FLAIR MR image.
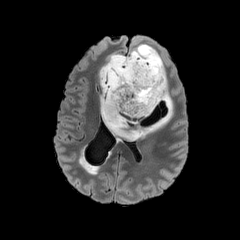
T1-weighted magnetic resonance.
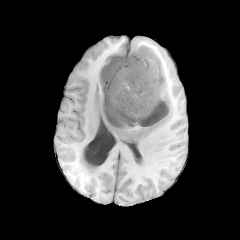
Post-contrast T1-weighted magnetic resonance.
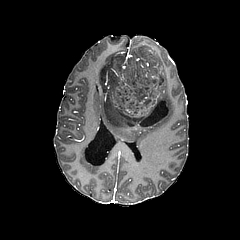
T2-weighted MR image.
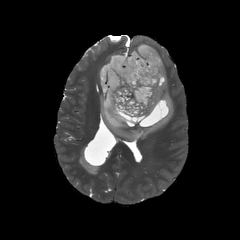
Image size 240x240, Axial slice
necrotic tumor core — [101,55,170,127]
peritumoral edema — [99,43,173,141]